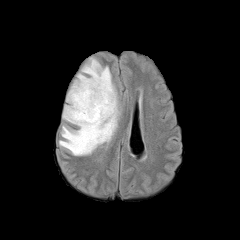
FLAIR MRI.
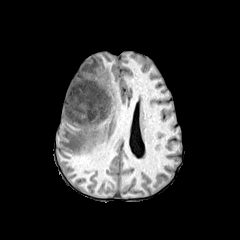
T1-weighted MRI.
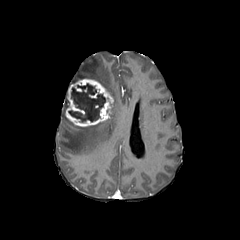
Post-contrast T1-weighted MR.
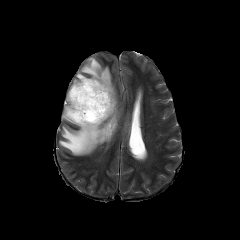
T2-weighted MR image.
Axial plane, Brain
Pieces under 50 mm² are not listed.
necrotic tumor core: bounding box region(68, 83, 105, 122)
enhancing tumor: bounding box region(65, 78, 113, 126)
peritumoral edema: bounding box region(62, 104, 72, 123); region(59, 57, 119, 155)